FLAIR magnetic resonance.
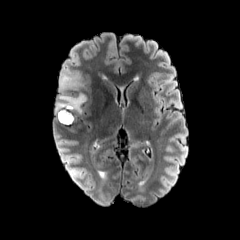
T1-weighted MR.
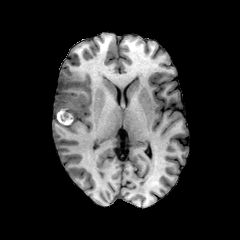
Post-contrast T1-weighted MR image.
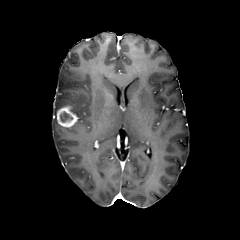
T2-weighted MR image.
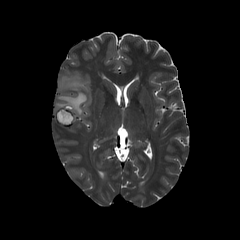
Axial view
The necrotic tumor core lies within [x1=60, y1=112, x2=72, y2=122]. The enhancing tumor appears at [x1=56, y1=105, x2=77, y2=126]. The peritumoral edema is bounded by [x1=55, y1=70, x2=87, y2=114].